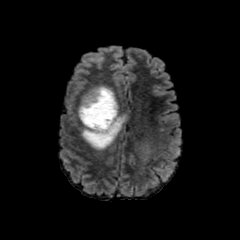
FLAIR MR image.
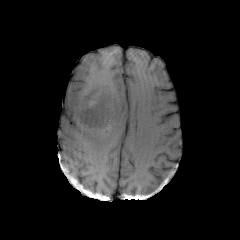
T1-weighted MR image of the same slice.
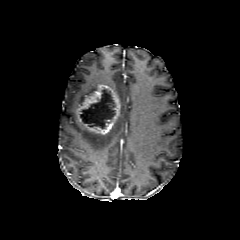
Post-contrast T1-weighted magnetic resonance of the same slice.
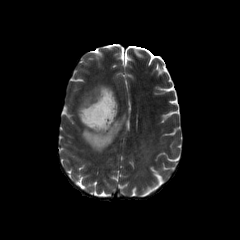
Same slice, T2-weighted MRI.
Axial view
enhancing_tumor:
  - 76,84,119,135
necrotic_tumor_core:
  - 80,89,115,128
peritumoral_edema:
  - 80,85,97,104
  - 81,115,125,151